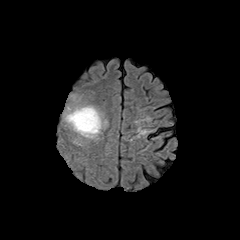
FLAIR MR.
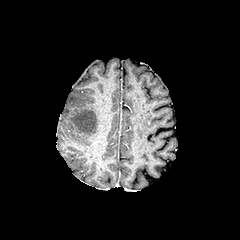
Same slice, T1-weighted MR image.
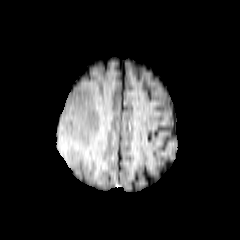
Same slice, post-contrast T1-weighted MR.
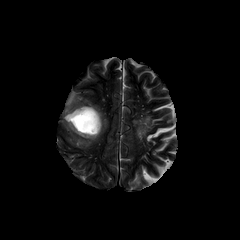
T2-weighted MRI of the same slice.
Brain, Axial plane, 240x240 px
peritumoral edema: region(63, 94, 107, 145) | necrotic tumor core: region(69, 108, 98, 134)